FLAIR MRI.
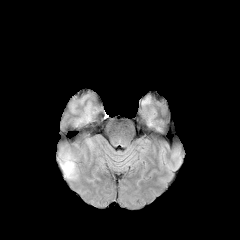
T1-weighted MR image.
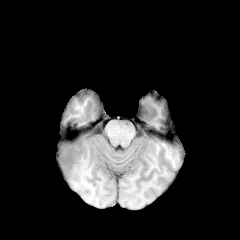
Post-contrast T1-weighted MRI.
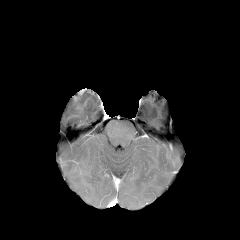
T2-weighted magnetic resonance.
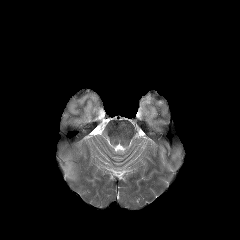
Brain
peritumoral edema: (61,154,75,178)